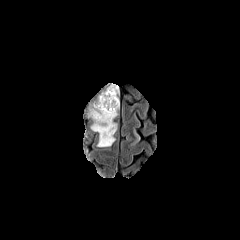
FLAIR magnetic resonance.
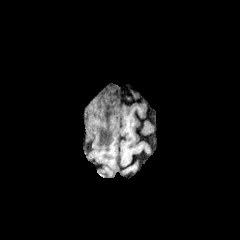
T1-weighted magnetic resonance of the same slice.
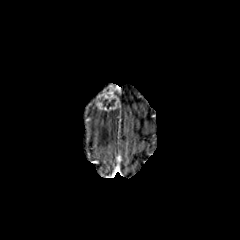
Same slice, post-contrast T1-weighted MR.
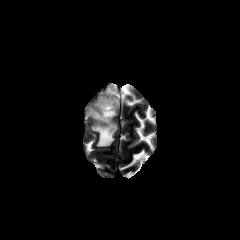
T2-weighted magnetic resonance of the same slice.
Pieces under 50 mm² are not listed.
The enhancing tumor is at (95,84,119,111). The largest necrotic tumor core region lies within (103,99,115,108). The peritumoral edema appears at (88,105,118,146).